Image width 240 mm, 1.00 mm slice spacing, Slice 125 of 155, Axial plane
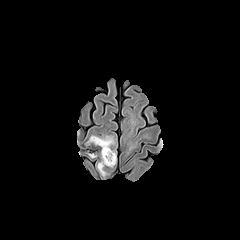
FLAIR MR image.
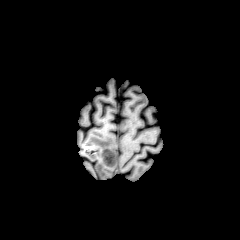
T1-weighted MR image.
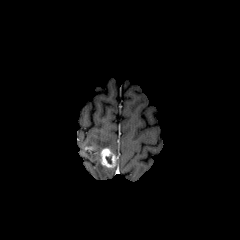
Post-contrast T1-weighted magnetic resonance.
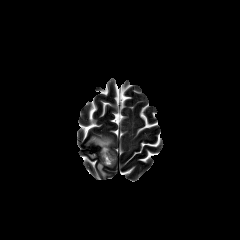
T2-weighted MRI.
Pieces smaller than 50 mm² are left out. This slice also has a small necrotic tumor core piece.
enhancing_tumor:
  - 100, 148, 116, 167
peritumoral_edema:
  - 97, 161, 107, 177
  - 86, 135, 114, 148